Slice 132 of 155; Head; Axial slice; Image size 240x240
FLAIR MRI.
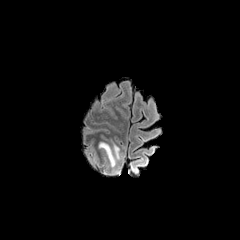
T1-weighted magnetic resonance.
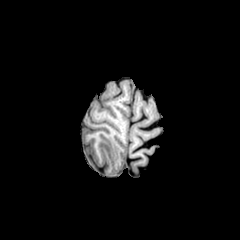
Post-contrast T1-weighted MR.
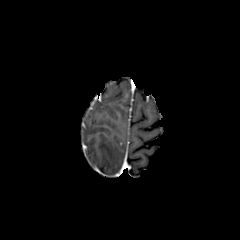
T2-weighted magnetic resonance.
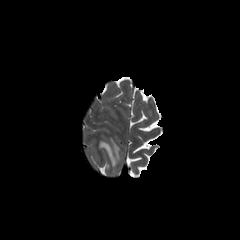
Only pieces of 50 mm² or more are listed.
peritumoral edema — x1=99, y1=140, x2=120, y2=166